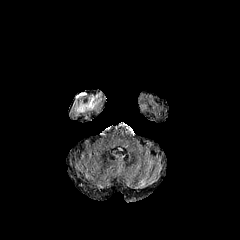
FLAIR MR image.
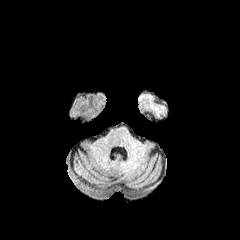
T1-weighted magnetic resonance.
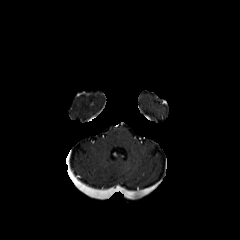
Post-contrast T1-weighted MRI.
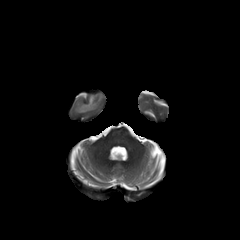
T2-weighted MRI of the same slice.
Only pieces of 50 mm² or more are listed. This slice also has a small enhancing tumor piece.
peritumoral edema at region(75, 94, 101, 113)